FLAIR MR image.
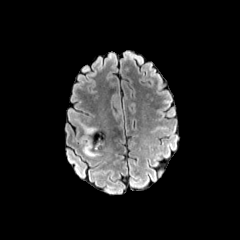
T1-weighted MRI.
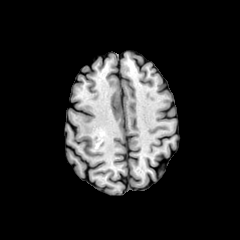
Post-contrast T1-weighted MR.
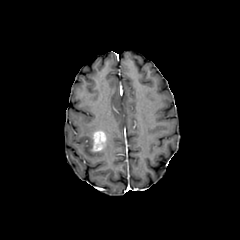
T2-weighted MRI.
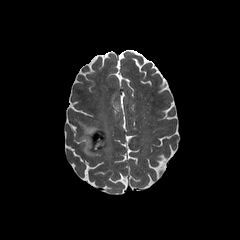
Axial view.
The peritumoral edema lies within 81, 125, 96, 156. The enhancing tumor appears at 93, 132, 105, 150.